240x240 px, Head, Image covers 240 mm x 240 mm
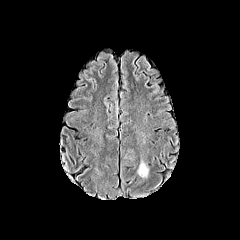
FLAIR MR.
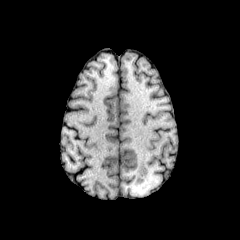
T1-weighted MR image.
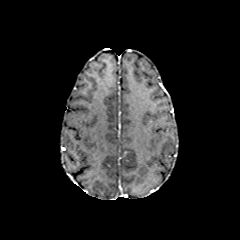
Post-contrast T1-weighted MR image.
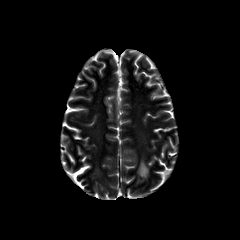
Same slice, T2-weighted MR image.
{"peritumoral_edema": [{"x1": 138, "y1": 161, "x2": 148, "y2": 177}]}